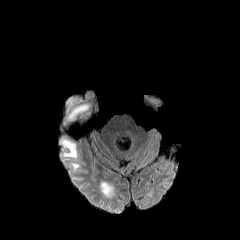
FLAIR MRI.
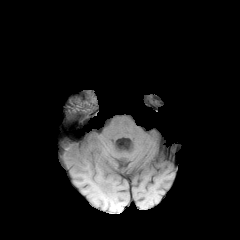
Same slice, T1-weighted MRI.
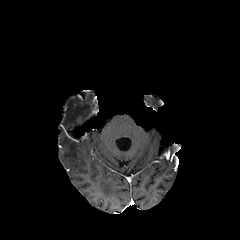
Post-contrast T1-weighted MR.
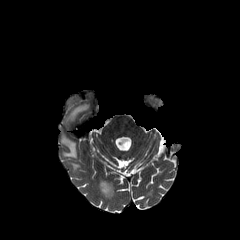
T2-weighted magnetic resonance.
240x240 px; Axial plane; Brain
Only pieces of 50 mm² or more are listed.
• peritumoral edema: (left=100, top=181, right=115, bottom=196), (left=62, top=139, right=77, bottom=158), (left=67, top=99, right=89, bottom=121)